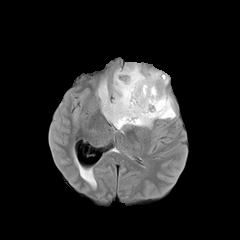
FLAIR magnetic resonance.
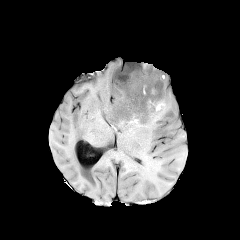
Same slice, T1-weighted MR image.
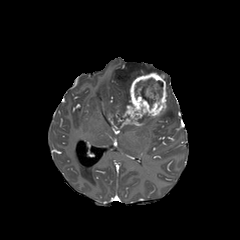
Same slice, post-contrast T1-weighted MRI.
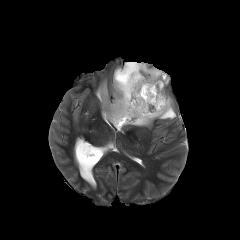
Same slice, T2-weighted MR.
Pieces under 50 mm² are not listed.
The 2 largest peritumoral edema regions are located at box(137, 93, 176, 127); box(97, 63, 163, 130). The 2 largest enhancing tumor regions are located at box(108, 114, 118, 128); box(120, 72, 166, 128). The necrotic tumor core lies within box(135, 78, 163, 108).